FLAIR MR.
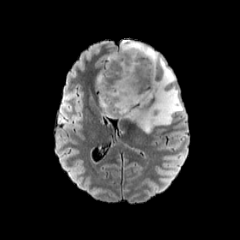
T1-weighted magnetic resonance.
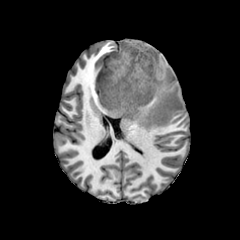
Post-contrast T1-weighted MRI.
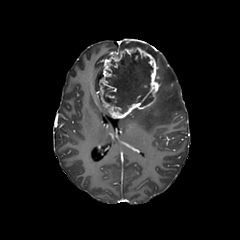
T2-weighted MR.
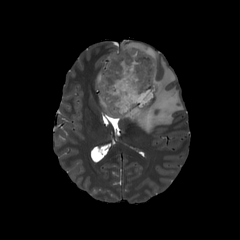
Head | 240x240
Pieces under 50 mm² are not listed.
Segmented structures:
* necrotic tumor core: [103,52,152,113], [140,93,153,106]
* enhancing tumor: [98,47,160,118]
* peritumoral edema: [99,94,110,116], [121,41,183,133]